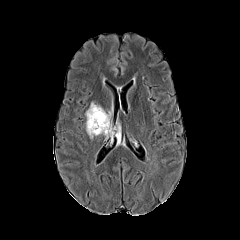
FLAIR MRI.
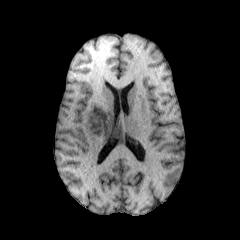
T1-weighted MR image.
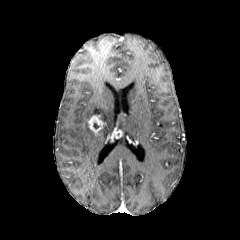
Post-contrast T1-weighted magnetic resonance.
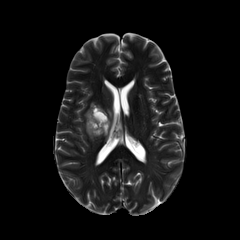
T2-weighted magnetic resonance.
240x240
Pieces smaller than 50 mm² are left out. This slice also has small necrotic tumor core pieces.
2 enhancing tumor regions are located at 88,115,104,134; 113,129,121,137. The peritumoral edema lies within 85,102,111,138.